FLAIR magnetic resonance.
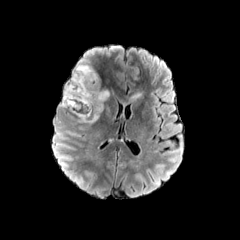
T1-weighted MR.
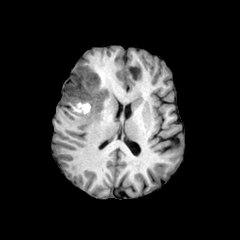
Post-contrast T1-weighted magnetic resonance.
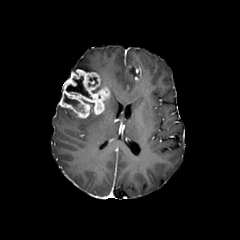
T2-weighted magnetic resonance.
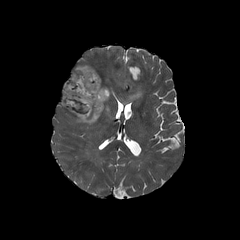
Axial slice
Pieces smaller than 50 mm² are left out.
enhancing tumor: [x1=125, y1=66, x2=139, y2=80], [x1=59, y1=69, x2=110, y2=118]
necrotic tumor core: [x1=83, y1=100, x2=94, y2=113], [x1=63, y1=94, x2=84, y2=112], [x1=66, y1=76, x2=91, y2=98]
peritumoral edema: [x1=130, y1=90, x2=142, y2=100], [x1=77, y1=115, x2=99, y2=124], [x1=73, y1=59, x2=96, y2=72]